Slice 82/155; Brain
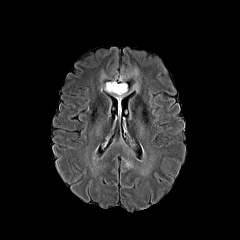
FLAIR MR image.
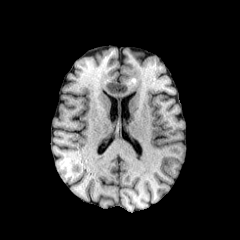
T1-weighted magnetic resonance of the same slice.
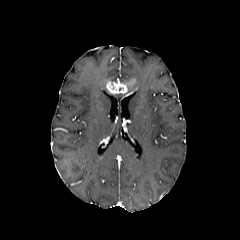
Post-contrast T1-weighted magnetic resonance.
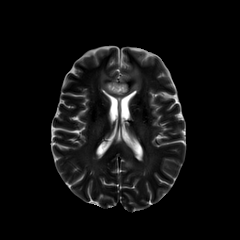
T2-weighted MR image of the same slice.
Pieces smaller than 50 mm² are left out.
The 4 largest peritumoral edema regions are located at l=114, t=94, r=125, b=102; l=125, t=160, r=133, b=167; l=120, t=67, r=140, b=92; l=100, t=72, r=109, b=91. The necrotic tumor core lies within l=109, t=83, r=124, b=90. The enhancing tumor appears at l=106, t=81, r=127, b=93.